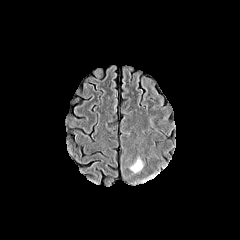
FLAIR MR.
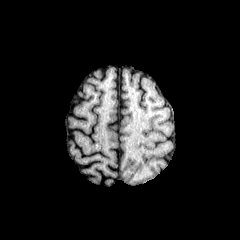
Same slice, T1-weighted MR image.
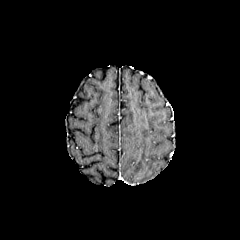
Post-contrast T1-weighted magnetic resonance of the same slice.
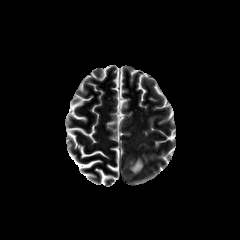
T2-weighted MR image of the same slice.
Brain.
The peritumoral edema is bounded by (130,158,143,173).